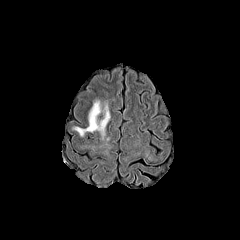
FLAIR MR.
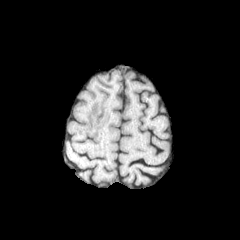
T1-weighted MRI.
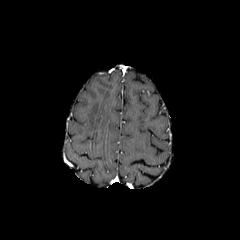
Post-contrast T1-weighted MR image.
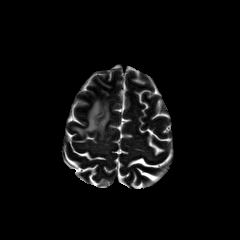
T2-weighted MR.
Axial slice
peritumoral edema: bounding box (x1=73, y1=100, x2=109, y2=135)